FLAIR MRI.
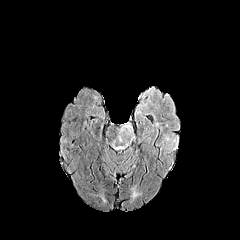
T1-weighted magnetic resonance.
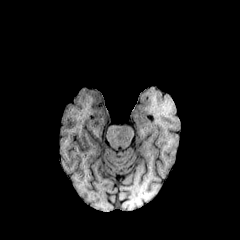
Post-contrast T1-weighted MR.
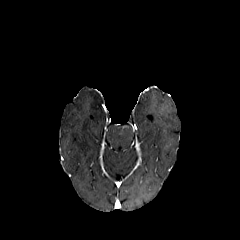
T2-weighted magnetic resonance.
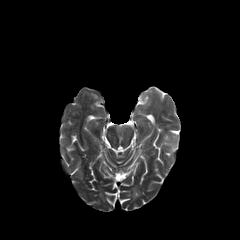
Brain; Image size 240x240
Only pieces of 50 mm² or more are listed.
{
  "peritumoral_edema": [
    "x1=119 y1=123 x2=133 y2=133"
  ]
}